FLAIR magnetic resonance.
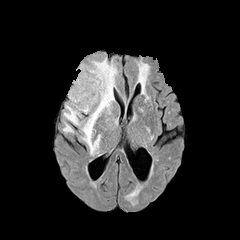
T1-weighted MR.
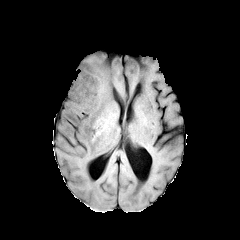
Post-contrast T1-weighted magnetic resonance.
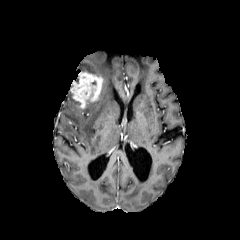
T2-weighted MRI.
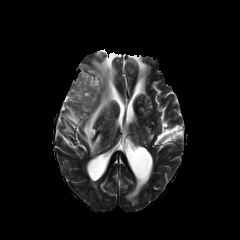
Head
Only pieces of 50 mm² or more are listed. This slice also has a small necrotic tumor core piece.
The 2 largest peritumoral edema regions are located at bbox=[64, 57, 117, 155]; bbox=[63, 122, 73, 132]. The enhancing tumor is located at bbox=[70, 71, 103, 108].